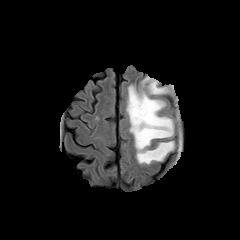
FLAIR MR image.
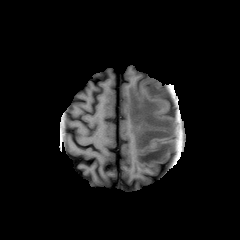
Same slice, T1-weighted MR image.
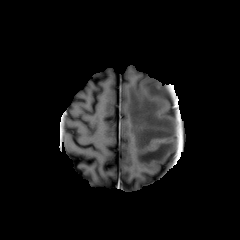
Post-contrast T1-weighted magnetic resonance of the same slice.
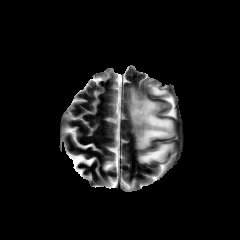
Same slice, T2-weighted MR image.
Axial view
2 peritumoral edema regions appear at region(127, 85, 174, 164); region(142, 76, 168, 95).